FLAIR MRI.
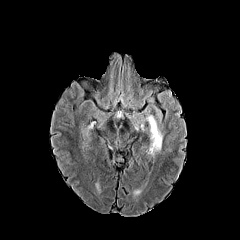
T1-weighted MRI.
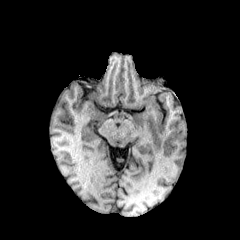
Post-contrast T1-weighted magnetic resonance.
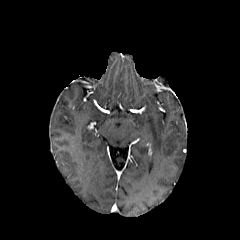
T2-weighted MR image.
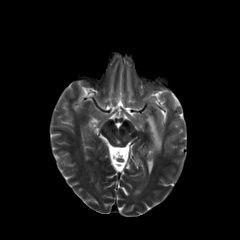
Brain | Axial view
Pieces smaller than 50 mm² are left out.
peritumoral_edema:
  - l=146, t=115, r=162, b=154